Head
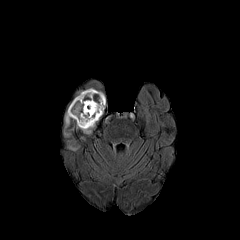
FLAIR magnetic resonance.
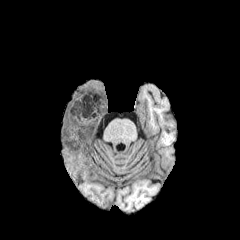
T1-weighted MR.
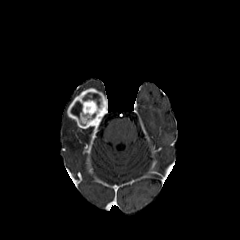
Post-contrast T1-weighted magnetic resonance of the same slice.
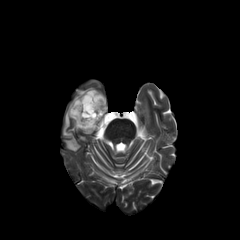
Same slice, T2-weighted MR.
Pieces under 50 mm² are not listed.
The 2 largest peritumoral edema regions are located at 67,140,78,150; 64,113,70,136. The largest enhancing tumor region is at 67,88,107,128. The 2 largest necrotic tumor core regions are located at 83,93,100,106; 71,101,82,118.